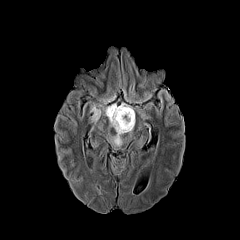
FLAIR magnetic resonance.
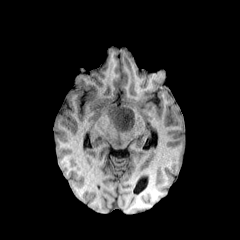
Same slice, T1-weighted MRI.
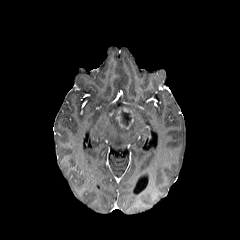
Post-contrast T1-weighted MRI.
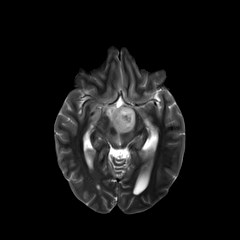
T2-weighted MR.
Image size 240x240, Axial plane
enhancing tumor: <box>109,107,134,129</box> | necrotic tumor core: <box>120,110,131,126</box> | peritumoral edema: <box>100,95,115,104</box>, <box>90,104,101,121</box>, <box>103,103,135,146</box>